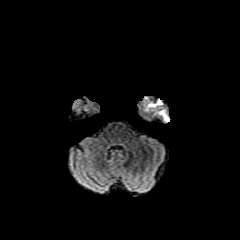
FLAIR MRI.
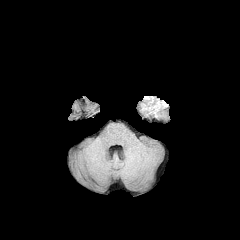
T1-weighted MR.
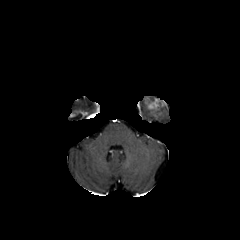
Post-contrast T1-weighted MR of the same slice.
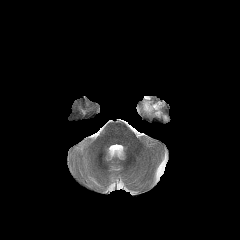
T2-weighted MRI.
Axial view
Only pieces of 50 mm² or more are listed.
peritumoral edema: bounding box box(159, 111, 168, 121)
enhancing tumor: bounding box box(148, 100, 158, 109)